240x240
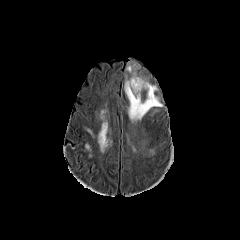
FLAIR MR.
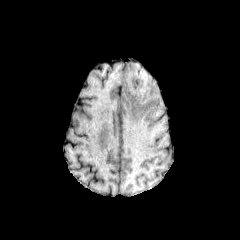
Same slice, T1-weighted MR image.
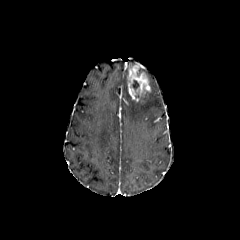
Post-contrast T1-weighted MR image.
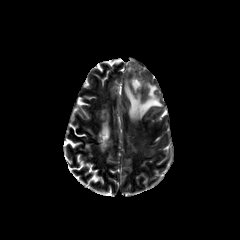
Same slice, T2-weighted MR.
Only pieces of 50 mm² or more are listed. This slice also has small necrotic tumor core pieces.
The enhancing tumor is bounded by (x1=127, y1=63, x2=151, y2=103). The largest peritumoral edema region lies within (x1=124, y1=76, x2=162, y2=121).